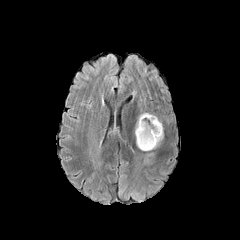
FLAIR MRI.
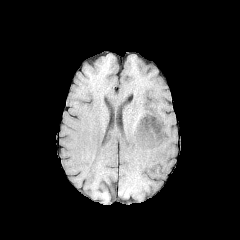
T1-weighted MR image.
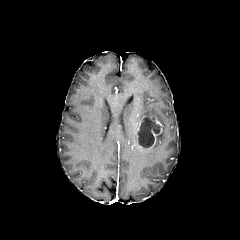
Same slice, post-contrast T1-weighted magnetic resonance.
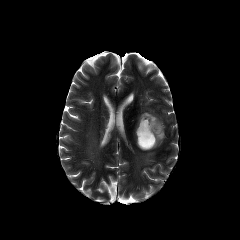
T2-weighted magnetic resonance.
Brain, 240x240
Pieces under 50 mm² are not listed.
peritumoral edema: [136, 112, 156, 125], [140, 131, 163, 150]
enhancing tumor: [136, 117, 162, 149]
necrotic tumor core: [137, 118, 160, 148]